Slice 84/155. Brain. Axial plane.
FLAIR MR.
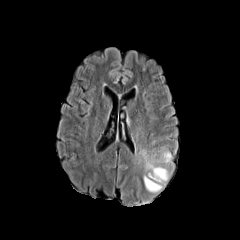
T1-weighted MR image.
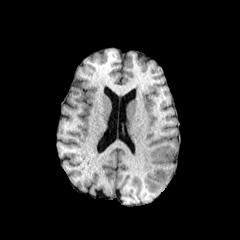
Post-contrast T1-weighted MRI.
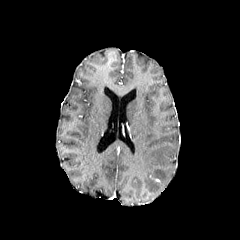
T2-weighted MR.
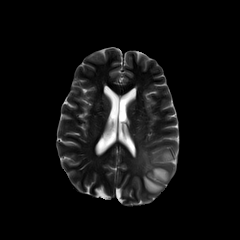
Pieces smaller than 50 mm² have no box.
peritumoral edema at x1=139 y1=148 x2=172 y2=192